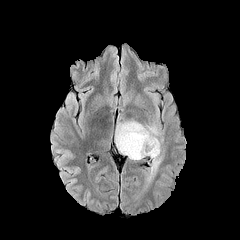
FLAIR magnetic resonance.
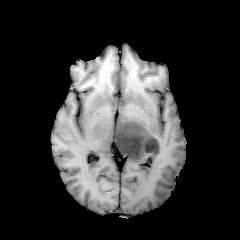
T1-weighted MR.
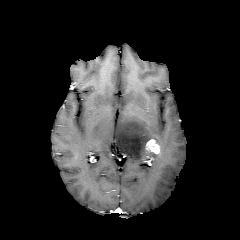
Same slice, post-contrast T1-weighted magnetic resonance.
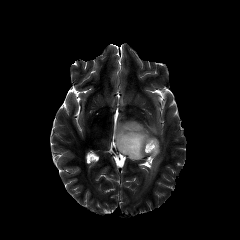
T2-weighted MR image of the same slice.
Axial view
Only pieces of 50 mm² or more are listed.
The largest peritumoral edema region is at [114,116,163,179]. The enhancing tumor lies within [145,139,160,154].